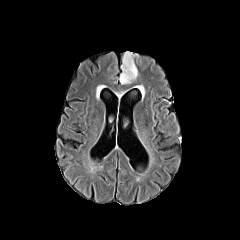
FLAIR MR image.
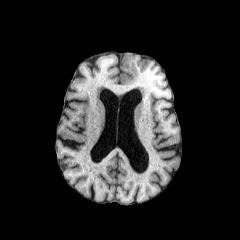
Same slice, T1-weighted MR image.
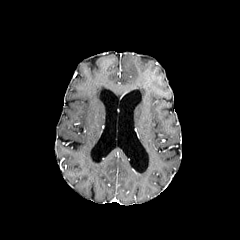
Post-contrast T1-weighted magnetic resonance of the same slice.
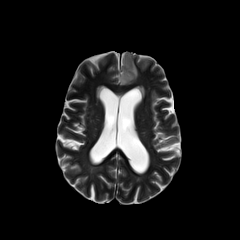
T2-weighted MR.
Head
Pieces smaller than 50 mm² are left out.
peritumoral edema at {"x1": 137, "y1": 86, "x2": 144, "y2": 97}, {"x1": 119, "y1": 52, "x2": 137, "y2": 84}